Axial slice; Image size 240x240
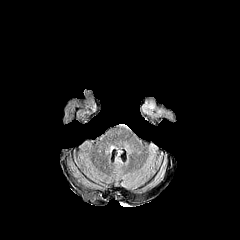
FLAIR magnetic resonance.
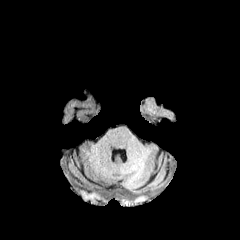
T1-weighted MR.
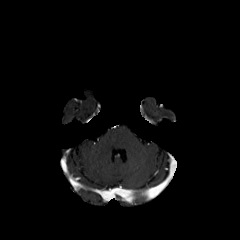
Post-contrast T1-weighted magnetic resonance.
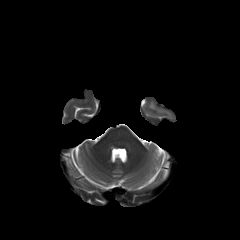
T2-weighted MR of the same slice.
peritumoral edema: rect(141, 99, 160, 115)